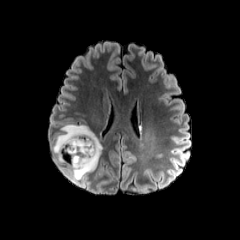
FLAIR MRI.
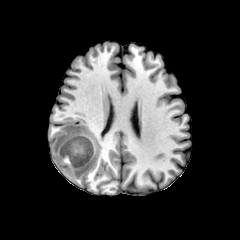
T1-weighted MR image of the same slice.
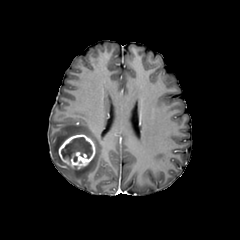
Post-contrast T1-weighted MR image.
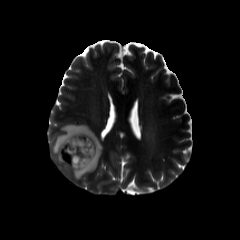
T2-weighted MR.
Axial view, Image size 240x240, Head
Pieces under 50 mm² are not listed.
peritumoral edema — 52 124 102 180
enhancing tumor — 58 134 95 168
necrotic tumor core — 61 137 92 160